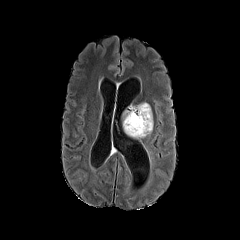
FLAIR magnetic resonance.
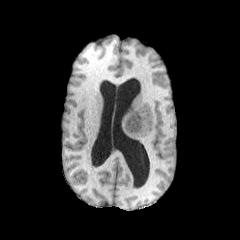
T1-weighted MR.
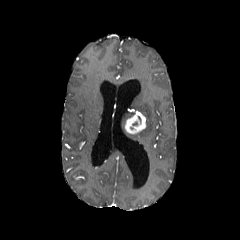
Same slice, post-contrast T1-weighted MRI.
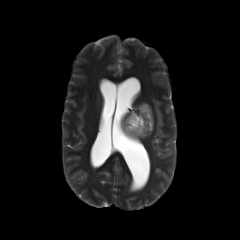
T2-weighted MRI of the same slice.
Brain
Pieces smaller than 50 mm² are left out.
Segmented structures:
* enhancing tumor: left=124, top=111, right=146, bottom=134
* necrotic tumor core: left=130, top=116, right=140, bottom=128
* peritumoral edema: left=128, top=102, right=153, bottom=138